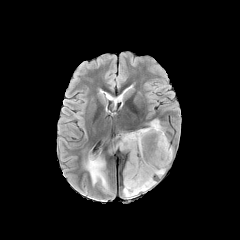
FLAIR magnetic resonance.
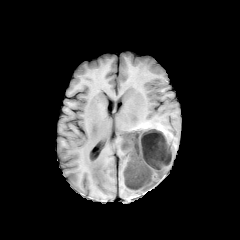
Same slice, T1-weighted MR image.
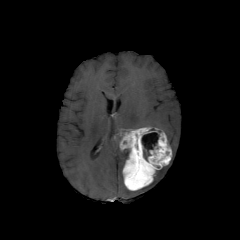
Post-contrast T1-weighted magnetic resonance.
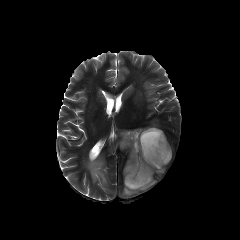
T2-weighted MRI.
240x240 px. Axial slice. Brain.
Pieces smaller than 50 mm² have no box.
peritumoral edema: 109,135,121,155; 150,120,161,128; 86,158,108,189; 123,180,155,197; 156,166,165,176 | necrotic tumor core: 141,132,158,159 | enhancing tumor: 119,126,172,190